Head
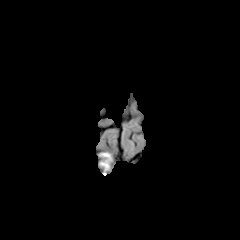
FLAIR MR.
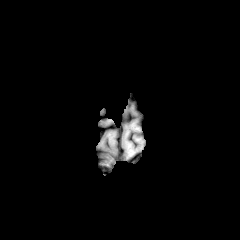
Same slice, T1-weighted MR image.
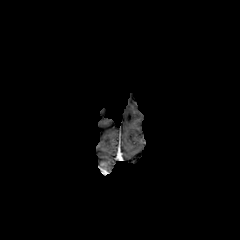
Post-contrast T1-weighted MR image of the same slice.
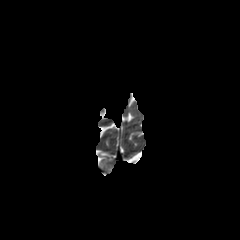
Same slice, T2-weighted MR.
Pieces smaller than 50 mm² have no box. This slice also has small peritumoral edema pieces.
<segmentation>
  <enhancing_tumor>region(101, 163, 106, 174)</enhancing_tumor>
</segmentation>